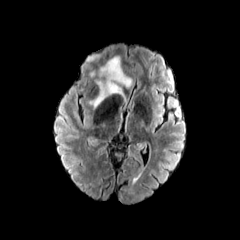
FLAIR magnetic resonance.
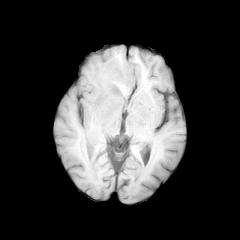
T1-weighted MR image of the same slice.
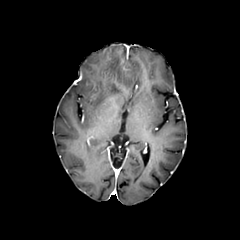
Same slice, post-contrast T1-weighted magnetic resonance.
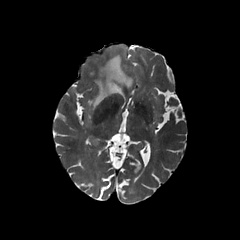
T2-weighted magnetic resonance.
240x240
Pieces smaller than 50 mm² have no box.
peritumoral edema: rect(88, 55, 132, 110)